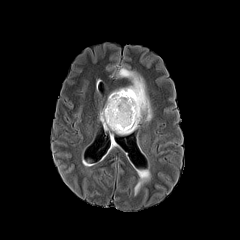
FLAIR MRI.
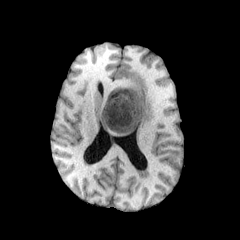
Same slice, T1-weighted MRI.
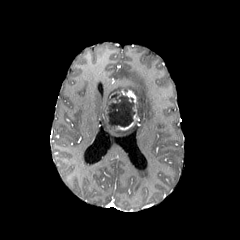
Post-contrast T1-weighted magnetic resonance.
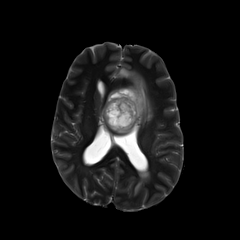
T2-weighted magnetic resonance of the same slice.
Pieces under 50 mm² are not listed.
necrotic tumor core = [x1=103, y1=93, x2=134, y2=128]
enhancing tumor = [x1=112, y1=90, x2=139, y2=130]
peritumoral edema = [x1=117, y1=68, x2=152, y2=121], [x1=99, y1=109, x2=137, y2=134]